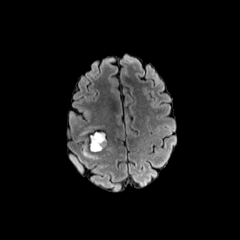
FLAIR magnetic resonance.
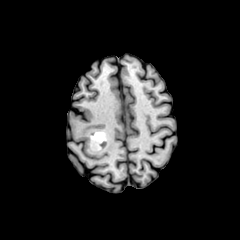
T1-weighted MR.
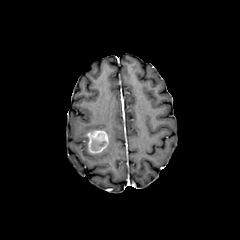
Post-contrast T1-weighted MR.
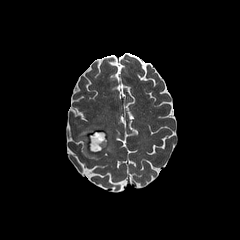
T2-weighted MRI.
Axial view.
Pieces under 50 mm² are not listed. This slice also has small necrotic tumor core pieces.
2 peritumoral edema regions are located at 82:145:94:158, 81:127:92:134. The enhancing tumor appears at 87:130:107:153.